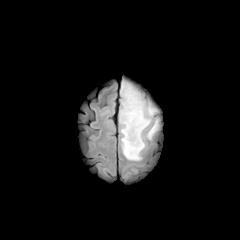
FLAIR MRI.
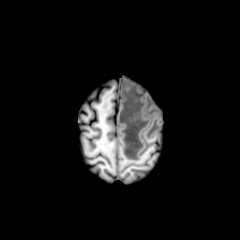
Same slice, T1-weighted magnetic resonance.
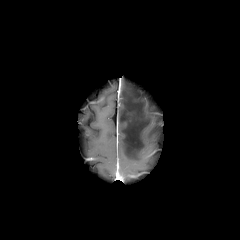
Post-contrast T1-weighted magnetic resonance of the same slice.
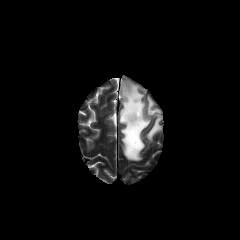
T2-weighted magnetic resonance.
Head. Axial view. Image size 240x240.
2 peritumoral edema regions are bounded by (x1=147, y1=120, x2=158, y2=139), (x1=120, y1=85, x2=155, y2=160).